Image width 240 mm | Axial plane | Head
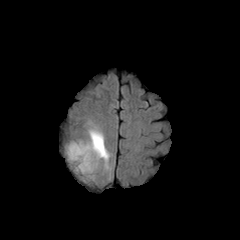
FLAIR MRI.
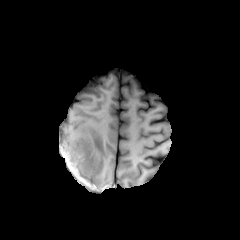
T1-weighted MRI.
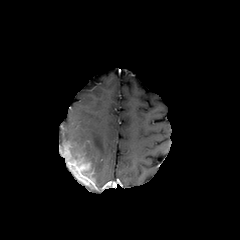
Post-contrast T1-weighted magnetic resonance.
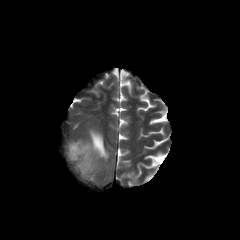
T2-weighted MRI of the same slice.
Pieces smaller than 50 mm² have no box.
The enhancing tumor is bounded by 65, 143, 95, 184. The largest peritumoral edema region lies within 69, 127, 109, 172.